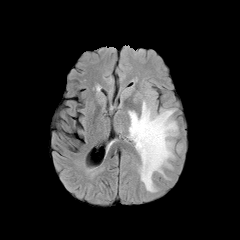
FLAIR MRI.
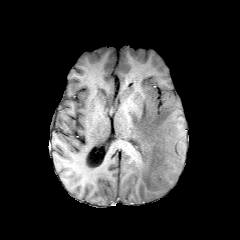
T1-weighted MRI of the same slice.
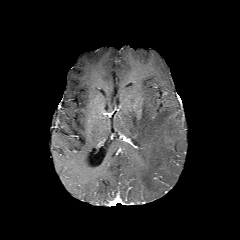
Same slice, post-contrast T1-weighted magnetic resonance.
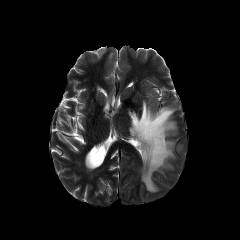
Same slice, T2-weighted MRI.
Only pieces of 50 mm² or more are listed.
peritumoral edema: bounding box 128,101,177,192